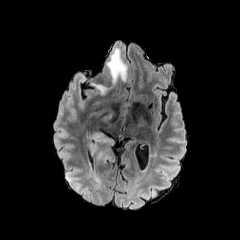
FLAIR MR.
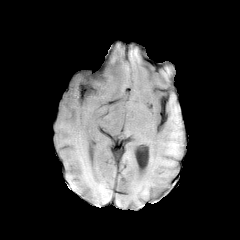
T1-weighted MR.
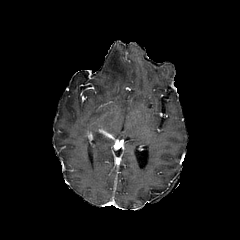
Post-contrast T1-weighted MR image.
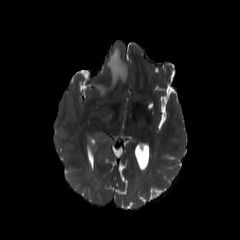
T2-weighted magnetic resonance.
240x240.
peritumoral edema: bounding box <bbox>92, 83, 106, 95</bbox>, <bbox>106, 47, 127, 85</bbox>